Axial view
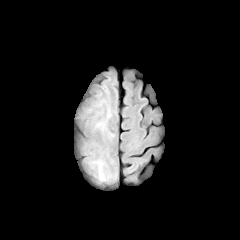
FLAIR MRI.
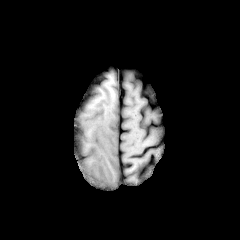
T1-weighted magnetic resonance of the same slice.
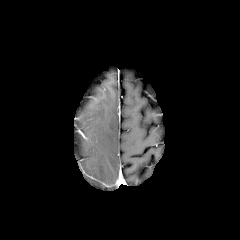
Post-contrast T1-weighted MR.
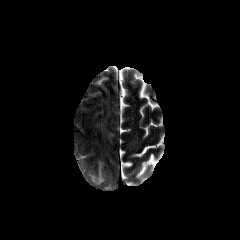
T2-weighted MR of the same slice.
The peritumoral edema appears at rect(99, 162, 103, 180).